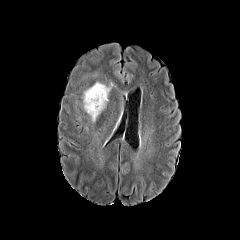
FLAIR magnetic resonance.
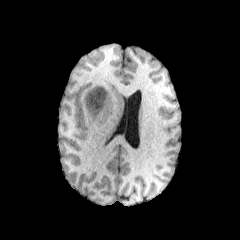
Same slice, T1-weighted MRI.
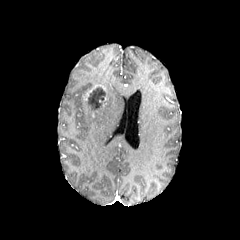
Post-contrast T1-weighted MR of the same slice.
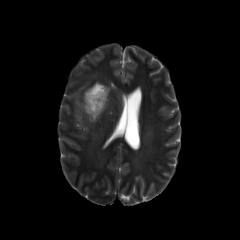
T2-weighted MRI of the same slice.
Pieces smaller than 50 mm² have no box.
The necrotic tumor core is bounded by region(87, 87, 106, 111). The largest peritumoral edema region lies within region(83, 87, 110, 122). The largest enhancing tumor region lies within region(83, 84, 106, 100).